Slice 77 of 155, Brain
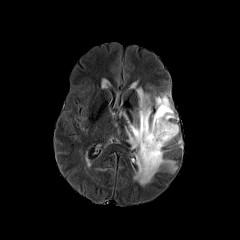
FLAIR MR image.
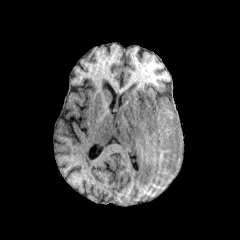
T1-weighted MRI of the same slice.
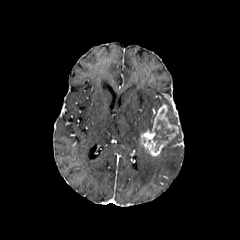
Same slice, post-contrast T1-weighted MRI.
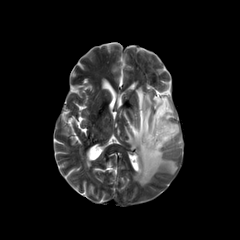
T2-weighted MR image.
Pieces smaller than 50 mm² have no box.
enhancing tumor: bounding box 140 104 178 156
necrotic tumor core: bounding box 153 119 175 150, 166 104 177 125
peritumoral edema: bounding box 124 87 177 185